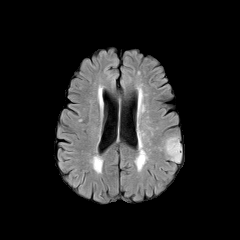
FLAIR MR.
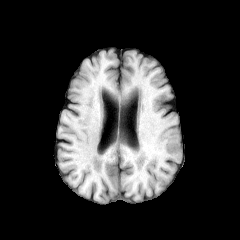
T1-weighted MR of the same slice.
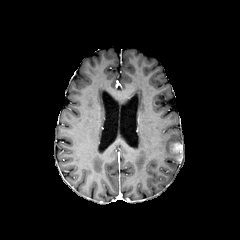
Post-contrast T1-weighted MRI of the same slice.
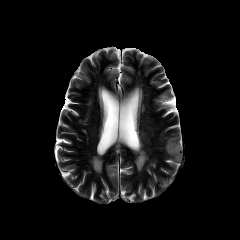
T2-weighted MR.
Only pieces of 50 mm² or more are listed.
The peritumoral edema lies within l=165, t=136, r=184, b=162. The largest enhancing tumor region is at l=171, t=143, r=182, b=152.